Image width 240 mm, 1.00 mm slice spacing. Head.
FLAIR MR image.
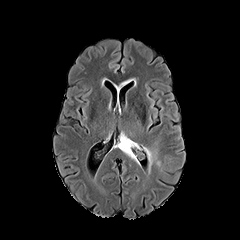
T1-weighted MRI.
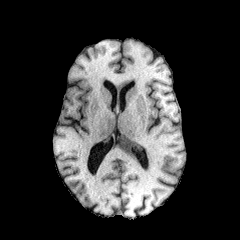
Post-contrast T1-weighted MR image.
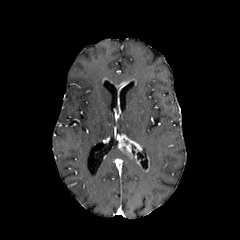
T2-weighted MR.
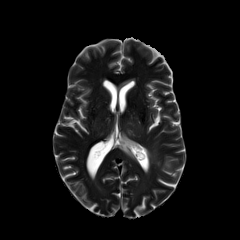
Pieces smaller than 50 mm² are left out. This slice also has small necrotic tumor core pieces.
peritumoral edema: bounding box (143, 147, 151, 161)
enhancing tumor: bounding box (118, 134, 145, 161)